Axial plane. Image covers 240 mm x 240 mm.
FLAIR MR.
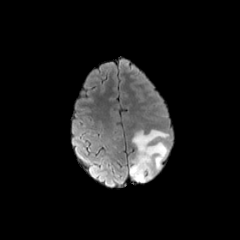
T1-weighted magnetic resonance.
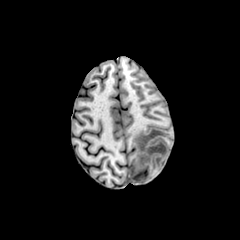
Post-contrast T1-weighted MR image.
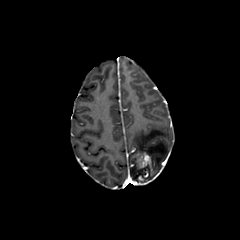
T2-weighted MR.
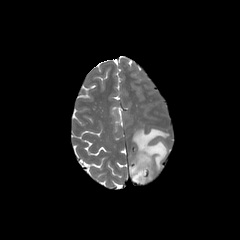
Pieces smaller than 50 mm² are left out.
peritumoral edema: 130:154:140:181, 132:129:168:182 | enhancing tumor: 137:152:151:181